Image covers 240 mm x 240 mm. Head.
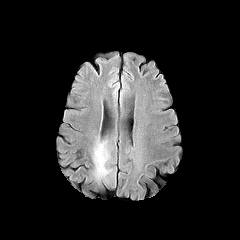
FLAIR MR.
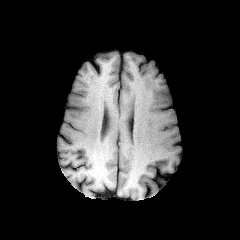
T1-weighted magnetic resonance.
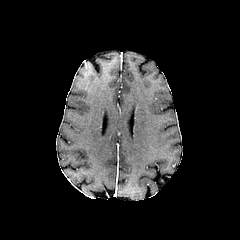
Post-contrast T1-weighted MRI of the same slice.
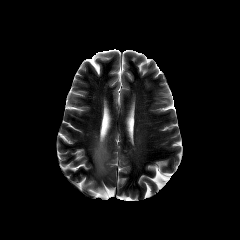
T2-weighted magnetic resonance.
The peritumoral edema is at 94, 145, 108, 176.